Image covers 240 mm x 240 mm.
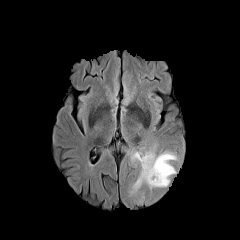
FLAIR MR image.
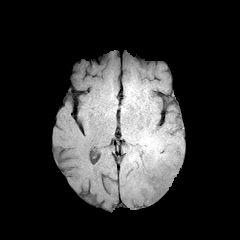
T1-weighted MR.
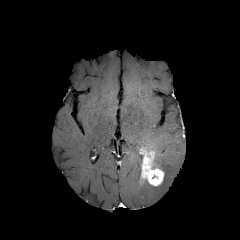
Post-contrast T1-weighted MR image.
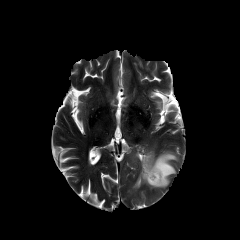
Same slice, T2-weighted MRI.
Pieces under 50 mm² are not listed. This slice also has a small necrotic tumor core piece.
{"enhancing_tumor": [{"x1": 140, "y1": 149, "x2": 164, "y2": 186}], "peritumoral_edema": [{"x1": 131, "y1": 151, "x2": 142, "y2": 164}, {"x1": 131, "y1": 151, "x2": 178, "y2": 192}]}